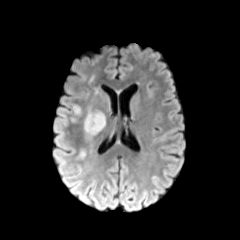
FLAIR MR image.
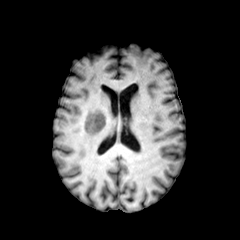
T1-weighted MR image.
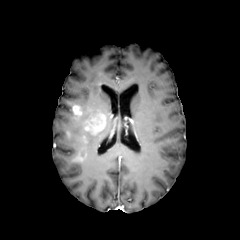
Same slice, post-contrast T1-weighted magnetic resonance.
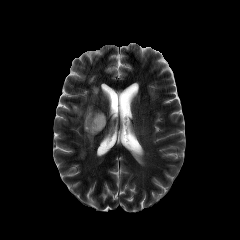
T2-weighted MR image of the same slice.
Head | Axial slice
peritumoral_edema:
  - region(85, 111, 101, 121)
enhancing_tumor:
  - region(85, 113, 105, 134)
  - region(72, 105, 81, 115)